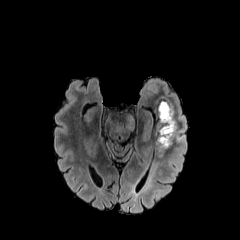
FLAIR MR image.
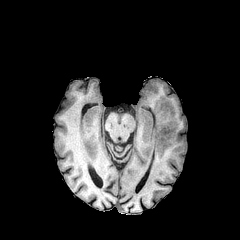
Same slice, T1-weighted MR.
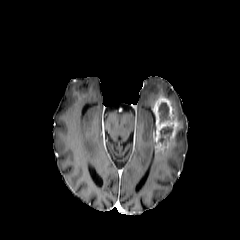
Post-contrast T1-weighted magnetic resonance.
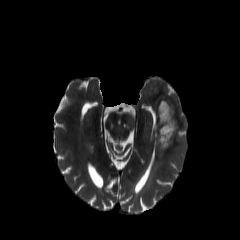
T2-weighted magnetic resonance.
Head | Axial slice
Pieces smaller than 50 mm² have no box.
The enhancing tumor is located at left=153, top=97, right=178, bottom=151. The largest peritumoral edema region is located at left=153, top=92, right=186, bottom=160. The 2 largest necrotic tumor core regions are located at left=159, top=103, right=169, bottom=121; left=160, top=127, right=172, bottom=134.